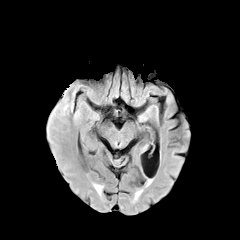
FLAIR MRI.
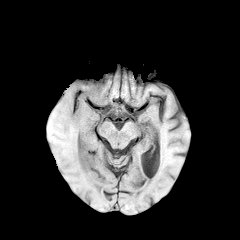
T1-weighted MR.
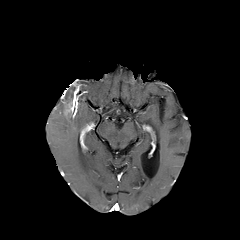
Post-contrast T1-weighted MRI.
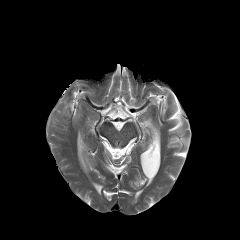
T2-weighted MRI of the same slice.
Axial plane
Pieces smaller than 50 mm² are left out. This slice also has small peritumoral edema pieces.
The enhancing tumor appears at rect(66, 90, 77, 115).